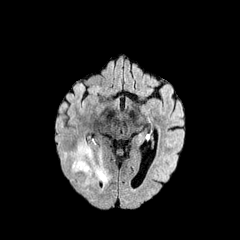
FLAIR magnetic resonance.
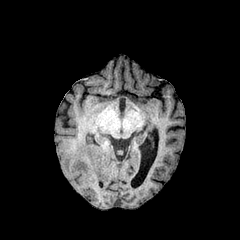
T1-weighted magnetic resonance.
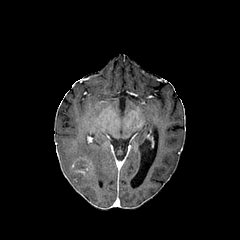
Post-contrast T1-weighted MR.
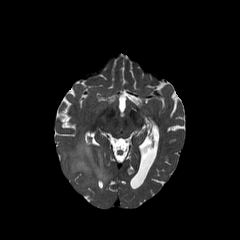
T2-weighted MR image.
Brain, Image size 240x240, Axial slice
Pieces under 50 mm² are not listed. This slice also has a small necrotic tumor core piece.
Findings:
- peritumoral edema: [64,140,110,186]
- enhancing tumor: [72,159,89,174]